FLAIR magnetic resonance.
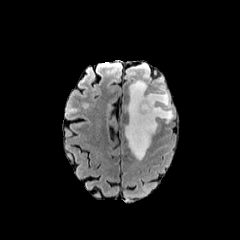
T1-weighted MR.
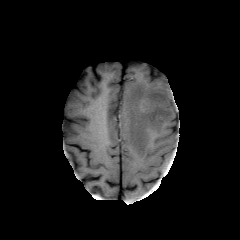
Post-contrast T1-weighted magnetic resonance.
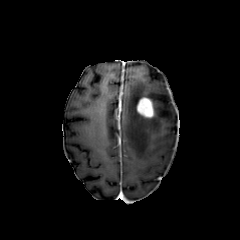
T2-weighted MR image.
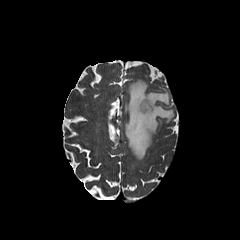
Brain.
enhancing_tumor:
  - region(137, 97, 154, 118)
peritumoral_edema:
  - region(125, 79, 173, 160)